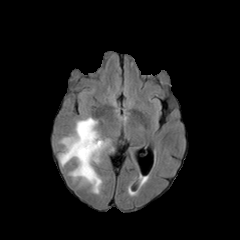
FLAIR MRI.
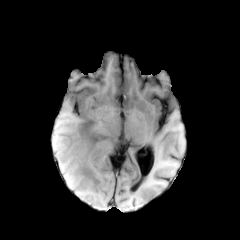
Same slice, T1-weighted magnetic resonance.
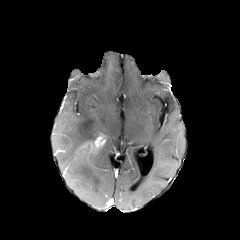
Post-contrast T1-weighted MRI.
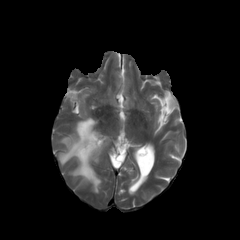
T2-weighted MR image.
Brain | Axial view
Segmented structures:
- enhancing tumor: left=76, top=135, right=105, bottom=158
- peritumoral edema: left=59, top=117, right=109, bottom=193